Slice index 100, Axial plane
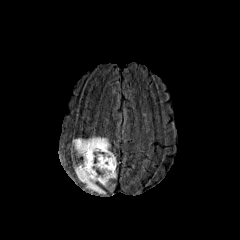
FLAIR MR.
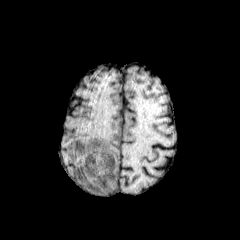
T1-weighted MR.
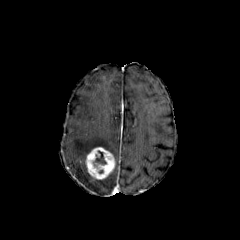
Same slice, post-contrast T1-weighted MR.
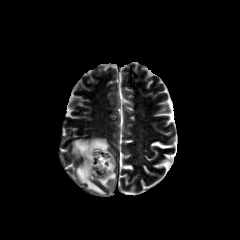
T2-weighted magnetic resonance.
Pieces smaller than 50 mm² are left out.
The largest peritumoral edema region appears at bbox(73, 137, 116, 194). The largest necrotic tumor core region appears at bbox(95, 151, 106, 164). The enhancing tumor appears at bbox(85, 147, 115, 179).